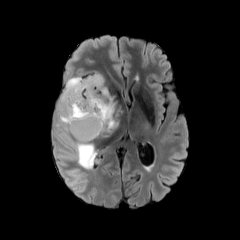
FLAIR magnetic resonance.
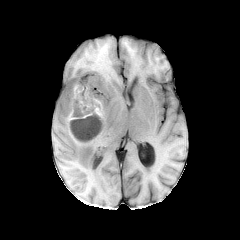
T1-weighted magnetic resonance.
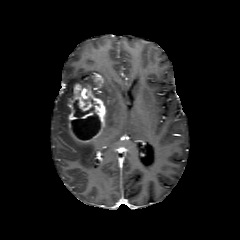
Same slice, post-contrast T1-weighted MR image.
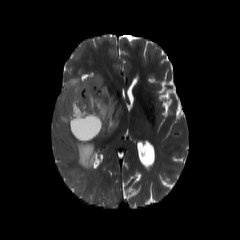
Same slice, T2-weighted MRI.
Axial slice. Brain.
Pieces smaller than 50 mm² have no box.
2 enhancing tumor regions are bounded by (left=68, top=84, right=106, bottom=142), (left=94, top=73, right=103, bottom=88). 2 peritumoral edema regions appear at (left=75, top=141, right=97, bottom=168), (left=57, top=74, right=117, bottom=132). The largest necrotic tumor core region is bounded by (left=71, top=100, right=100, bottom=140).